FLAIR MR.
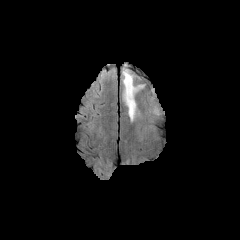
T1-weighted MRI.
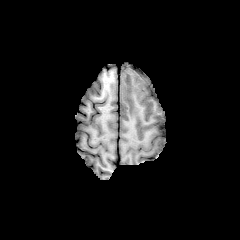
Post-contrast T1-weighted MRI.
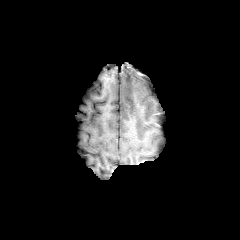
T2-weighted MR image.
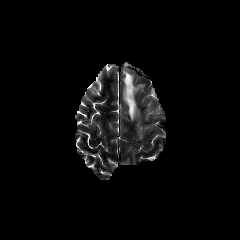
Image size 240x240. Brain. Axial slice.
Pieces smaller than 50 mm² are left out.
The largest peritumoral edema region is at bbox=[122, 68, 143, 120].